FLAIR magnetic resonance.
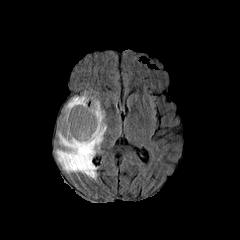
T1-weighted MR image.
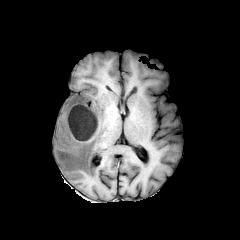
Post-contrast T1-weighted MR.
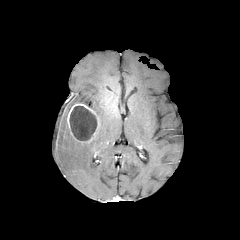
T2-weighted magnetic resonance.
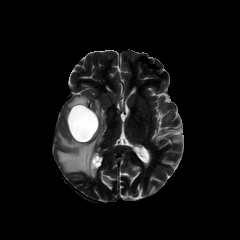
Axial slice | Head
Segmented structures:
* necrotic tumor core: [69,106,97,141]
* peritumoral edema: [55,94,106,179]
* enhancing tumor: [67,103,99,142]